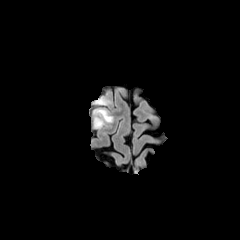
FLAIR MR.
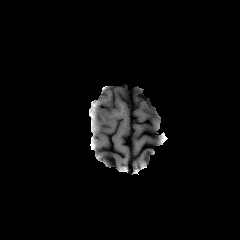
Same slice, T1-weighted MR image.
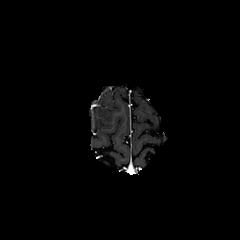
Post-contrast T1-weighted MR image.
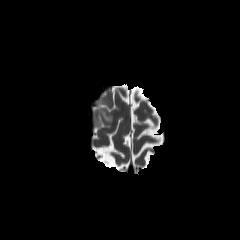
T2-weighted MRI.
Head
2 peritumoral edema regions appear at (94, 97, 110, 104), (93, 108, 113, 128).